Axial slice. Brain.
FLAIR MR image.
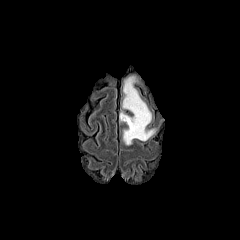
T1-weighted MR image.
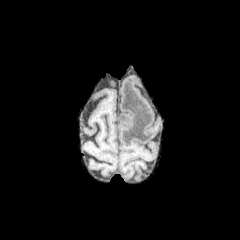
Post-contrast T1-weighted MRI.
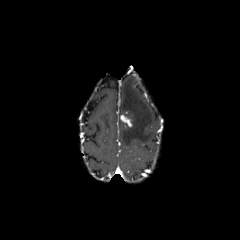
T2-weighted MRI.
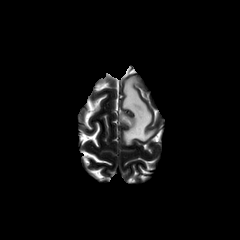
The enhancing tumor is bounded by bbox(120, 115, 132, 126). The peritumoral edema lies within bbox(118, 75, 158, 145).